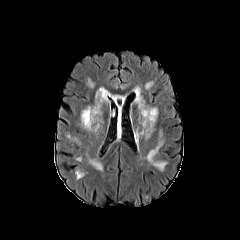
FLAIR magnetic resonance.
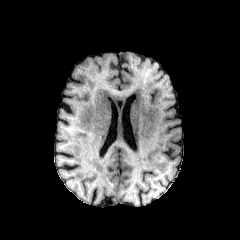
T1-weighted MR of the same slice.
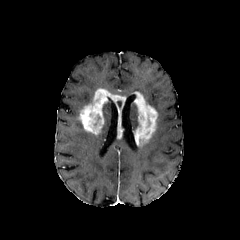
Post-contrast T1-weighted magnetic resonance.
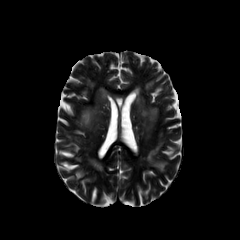
Same slice, T2-weighted MR image.
Head
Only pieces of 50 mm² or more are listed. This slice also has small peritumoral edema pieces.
2 enhancing tumor regions are bounded by l=79, t=88, r=125, b=137; l=134, t=92, r=157, b=144.